240x240 px
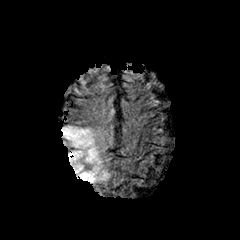
FLAIR MR image.
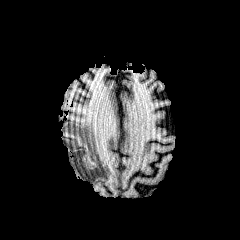
T1-weighted MR.
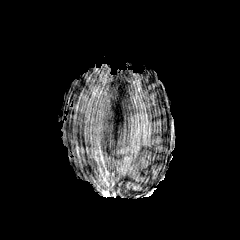
Post-contrast T1-weighted MR image of the same slice.
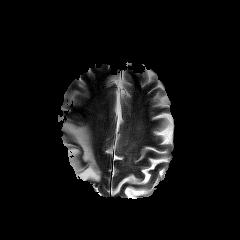
T2-weighted MRI.
Findings:
- peritumoral edema: left=61, top=125, right=110, bottom=183